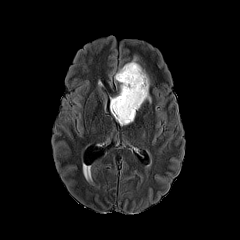
FLAIR MR image.
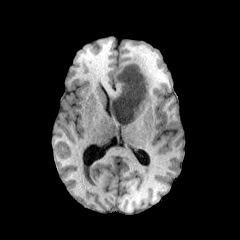
Same slice, T1-weighted magnetic resonance.
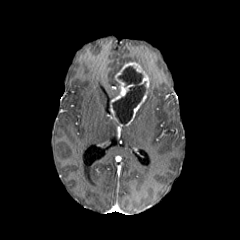
Post-contrast T1-weighted MR of the same slice.
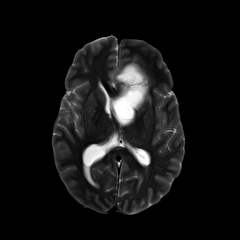
T2-weighted MR of the same slice.
Head, Axial view
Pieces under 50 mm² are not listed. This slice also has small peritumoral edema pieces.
The necrotic tumor core is located at [112,66,145,125]. The largest enhancing tumor region is at [110,62,149,125].